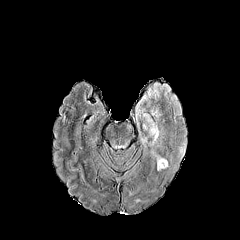
FLAIR MR.
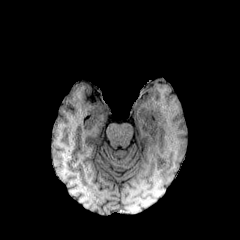
T1-weighted MR.
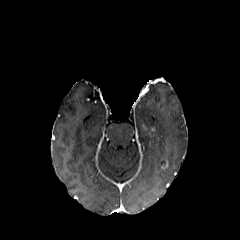
Same slice, post-contrast T1-weighted MRI.
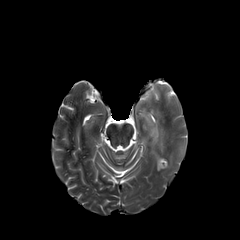
T2-weighted MRI.
Image size 240x240
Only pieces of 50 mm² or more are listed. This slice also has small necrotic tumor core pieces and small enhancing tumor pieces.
peritumoral edema: 143,114,163,170; 151,106,161,117; 179,142,186,155